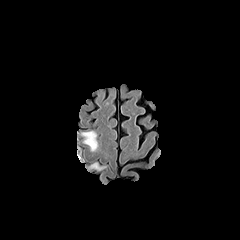
FLAIR magnetic resonance.
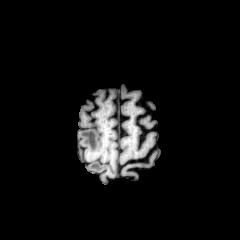
T1-weighted MRI of the same slice.
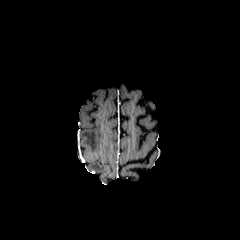
Post-contrast T1-weighted MR image.
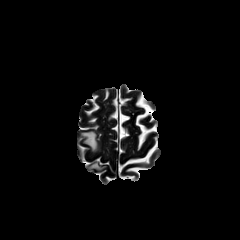
Same slice, T2-weighted MR image.
Axial plane. 240x240 px. Brain.
2 peritumoral edema regions are bounded by bbox=[81, 131, 98, 151]; bbox=[89, 163, 104, 170].